FLAIR MR.
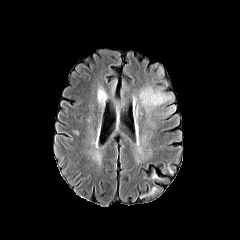
T1-weighted MR.
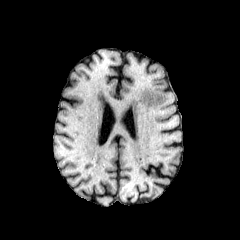
Post-contrast T1-weighted MRI.
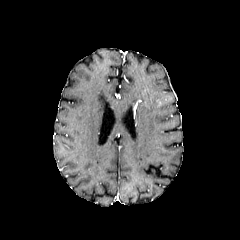
T2-weighted magnetic resonance.
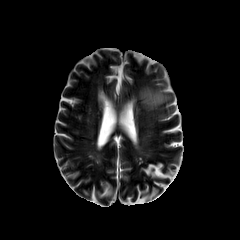
Image size 240x240
peritumoral edema: bounding box rect(161, 106, 174, 118); rect(139, 87, 171, 111)